Brain, Axial plane, Slice index 93
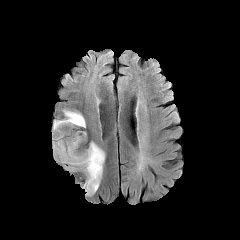
FLAIR MR image.
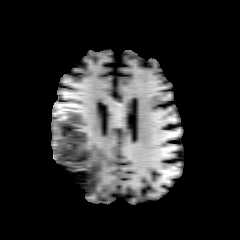
T1-weighted magnetic resonance.
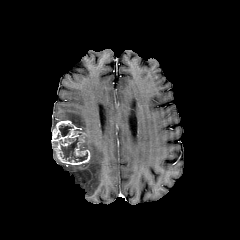
Post-contrast T1-weighted MRI.
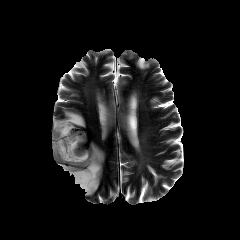
T2-weighted MR image of the same slice.
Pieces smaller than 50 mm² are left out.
The 2 largest peritumoral edema regions are bounded by (left=65, top=141, right=105, bottom=195), (left=52, top=109, right=85, bottom=129). The 2 largest necrotic tumor core regions appear at (left=61, top=137, right=87, bottom=162), (left=59, top=125, right=72, bottom=136). The enhancing tumor is at (left=51, top=120, right=90, bottom=165).